FLAIR MR image.
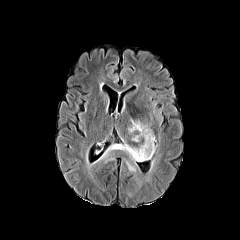
T1-weighted MRI.
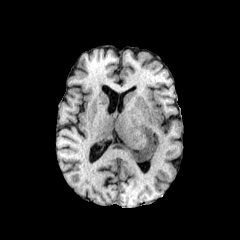
Post-contrast T1-weighted MR.
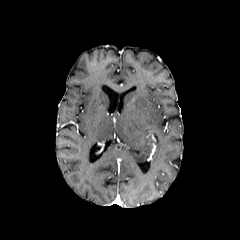
T2-weighted MR.
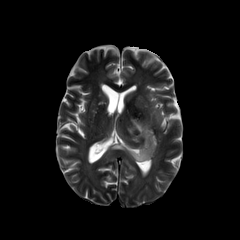
3 peritumoral edema regions are located at 143:158:154:183, 99:118:155:161, 125:158:136:172.